FLAIR magnetic resonance.
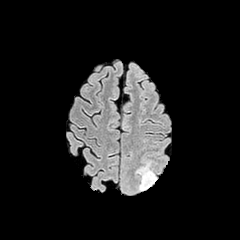
T1-weighted MR.
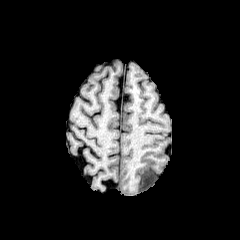
Post-contrast T1-weighted MRI.
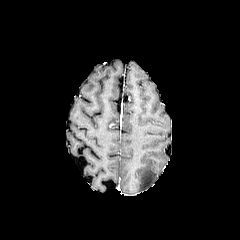
T2-weighted MR.
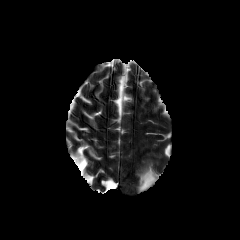
Axial view
peritumoral_edema:
  - bbox(138, 163, 157, 191)